Slice index 102; Head
FLAIR MR image.
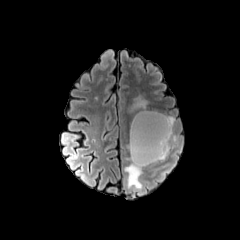
T1-weighted MR image.
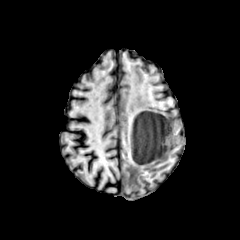
Post-contrast T1-weighted magnetic resonance.
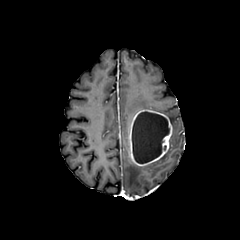
T2-weighted MR.
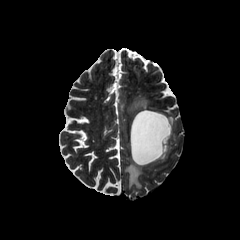
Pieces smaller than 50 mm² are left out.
The largest necrotic tumor core region is at rect(132, 111, 169, 163). The 2 largest peritumoral edema regions appear at rect(128, 88, 147, 114); rect(125, 160, 142, 189). The enhancing tumor is at rect(129, 109, 172, 166).